Image size 240x240, Slice 54 of 155, Image width 240 mm, Axial plane
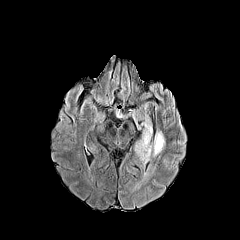
FLAIR MR.
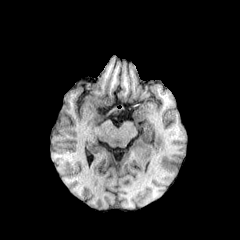
T1-weighted MR.
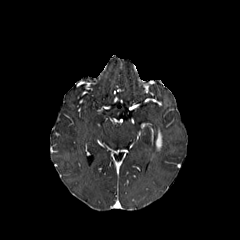
Same slice, post-contrast T1-weighted MRI.
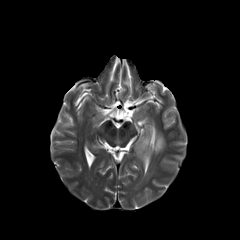
T2-weighted MR.
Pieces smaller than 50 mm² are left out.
peritumoral edema at bbox=[153, 134, 164, 155]; bbox=[134, 126, 151, 161]
enhancing tumor at bbox=[156, 130, 161, 150]